Brain, Slice 61/155
FLAIR MR image.
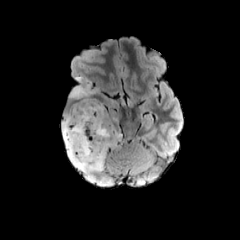
T1-weighted magnetic resonance.
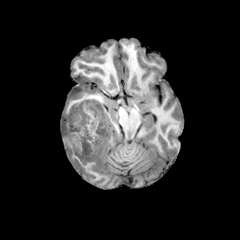
Post-contrast T1-weighted MR.
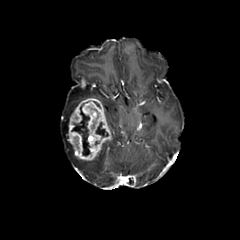
T2-weighted MR image.
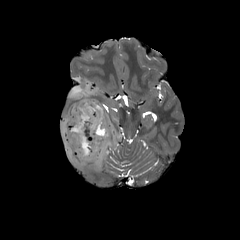
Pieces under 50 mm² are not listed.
enhancing tumor — (left=67, top=98, right=111, bottom=160)
peritumoral edema — (left=62, top=104, right=113, bottom=170), (left=69, top=77, right=96, bottom=99)
necrotic tumor core — (left=96, top=123, right=108, bottom=136), (left=72, top=106, right=90, bottom=155)